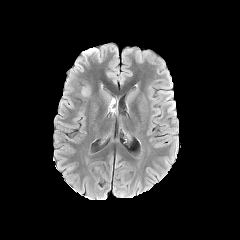
FLAIR MR.
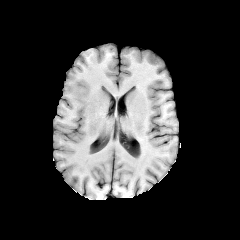
T1-weighted MR image.
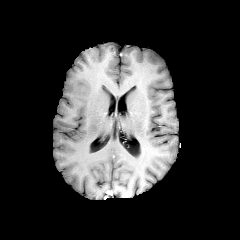
Post-contrast T1-weighted MR image.
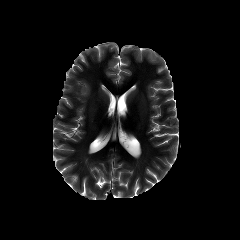
T2-weighted MR image.
Brain | Axial view
<segmentation>
  <peritumoral_edema>box(82, 88, 88, 95)</peritumoral_edema>
</segmentation>